Slice 47/155; Image covers 240 mm x 240 mm; Axial plane
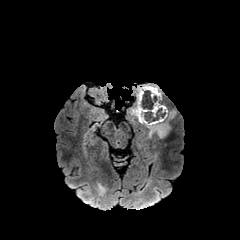
FLAIR magnetic resonance.
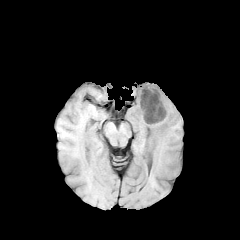
Same slice, T1-weighted MR image.
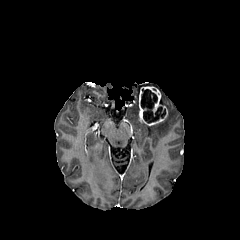
Same slice, post-contrast T1-weighted MR image.
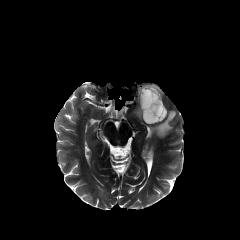
Same slice, T2-weighted MR.
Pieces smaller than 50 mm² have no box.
peritumoral edema: box(130, 87, 176, 138) | necrotic tumor core: box(141, 89, 153, 108); box(143, 107, 165, 123) | enhancing tumor: box(139, 86, 167, 125)